Brain; Axial view; Slice 88 of 155
FLAIR magnetic resonance.
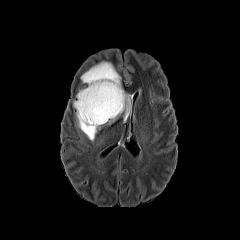
T1-weighted MR image.
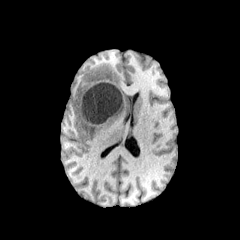
Post-contrast T1-weighted MRI.
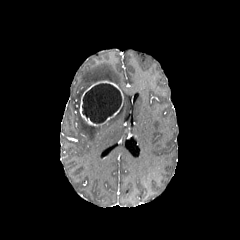
T2-weighted MR.
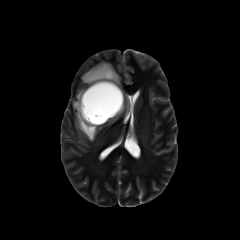
Annotated regions:
* peritumoral edema: 72,59,131,141
* enhancing tumor: 79,80,123,126
* necrotic tumor core: 82,83,121,123